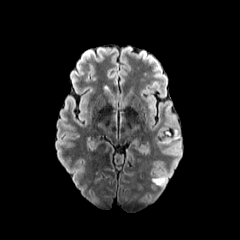
FLAIR MR.
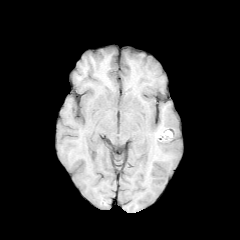
T1-weighted magnetic resonance.
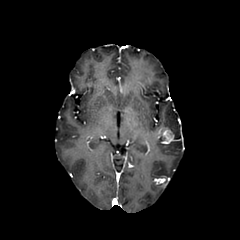
Post-contrast T1-weighted MR image.
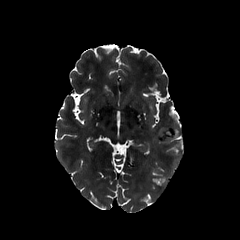
Same slice, T2-weighted MR.
Image size 240x240. Head.
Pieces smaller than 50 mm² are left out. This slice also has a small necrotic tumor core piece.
enhancing tumor — left=154, top=178, right=165, bottom=184; left=158, top=129, right=174, bottom=143
peritumoral edema — left=174, top=128, right=179, bottom=140; left=157, top=172, right=167, bottom=183